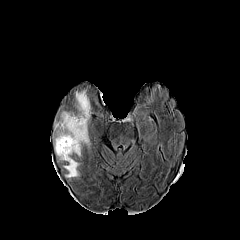
FLAIR magnetic resonance.
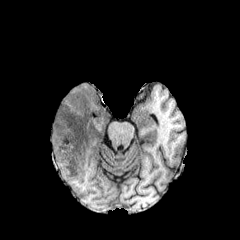
T1-weighted MR of the same slice.
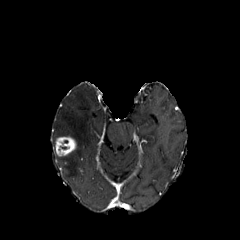
Post-contrast T1-weighted MRI.
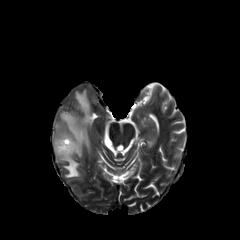
T2-weighted magnetic resonance.
Head; 240x240
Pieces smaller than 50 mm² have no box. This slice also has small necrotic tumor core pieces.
peritumoral edema: bbox=[55, 90, 90, 177] | enhancing tumor: bbox=[55, 136, 76, 156]